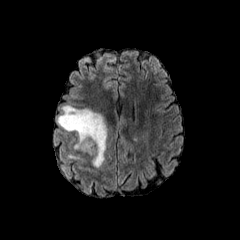
FLAIR MRI.
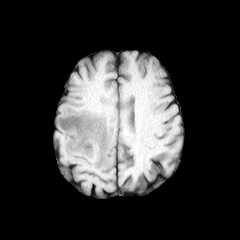
T1-weighted MR.
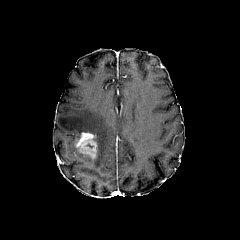
Post-contrast T1-weighted MR.
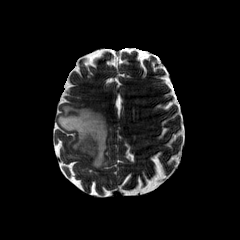
Same slice, T2-weighted MR image.
240x240
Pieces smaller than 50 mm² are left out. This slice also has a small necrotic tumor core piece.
The enhancing tumor appears at 75, 132, 97, 158. The largest peritumoral edema region lies within 57, 105, 107, 168.